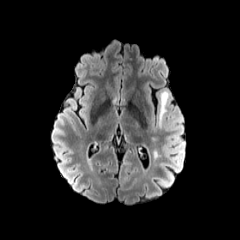
FLAIR MR image.
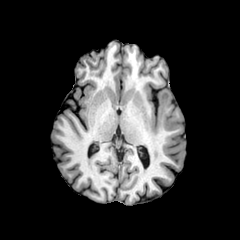
T1-weighted MR of the same slice.
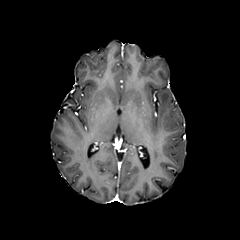
Post-contrast T1-weighted MR image.
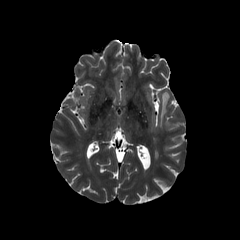
T2-weighted MRI of the same slice.
Brain, Axial plane
peritumoral edema: region(158, 91, 169, 128)